FLAIR magnetic resonance.
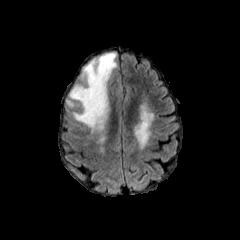
T1-weighted magnetic resonance.
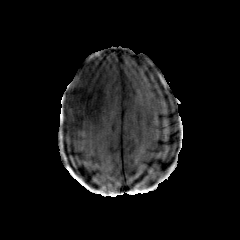
Post-contrast T1-weighted magnetic resonance.
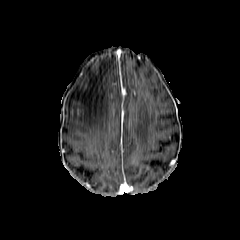
T2-weighted MR.
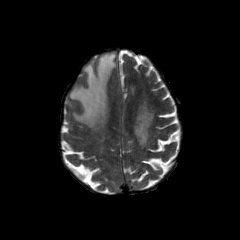
Head; Image size 240x240
peritumoral edema: box(66, 52, 116, 131)